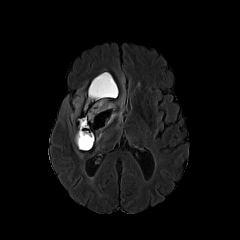
FLAIR MRI.
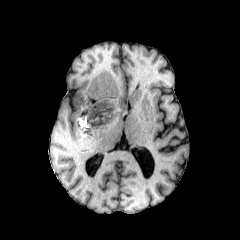
T1-weighted MRI of the same slice.
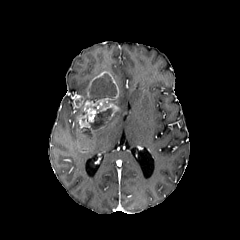
Same slice, post-contrast T1-weighted MR image.
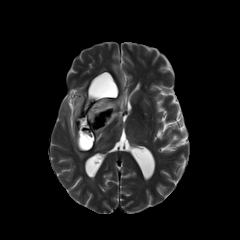
Same slice, T2-weighted magnetic resonance.
Head
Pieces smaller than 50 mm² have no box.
The 2 largest necrotic tumor core regions appear at <bbox>84, 74, 116, 102</bbox>, <bbox>79, 108, 112, 148</bbox>. The enhancing tumor is located at <bbox>73, 71, 118, 150</bbox>. The 2 largest peritumoral edema regions are located at <bbox>96, 91, 125, 142</bbox>, <bbox>71, 104, 85, 120</bbox>.